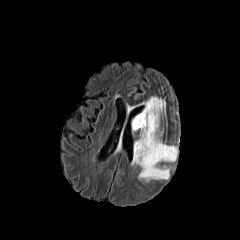
FLAIR MRI.
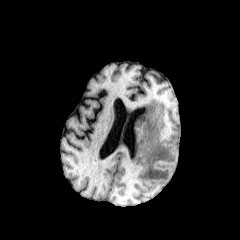
Same slice, T1-weighted magnetic resonance.
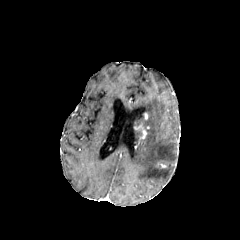
Post-contrast T1-weighted MR image.
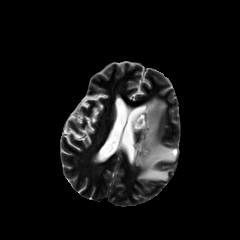
T2-weighted MRI.
Axial slice. 240x240. Head.
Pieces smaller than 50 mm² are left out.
* enhancing tumor: left=137, top=125, right=146, bottom=138
* peritumoral edema: left=132, top=97, right=176, bottom=182